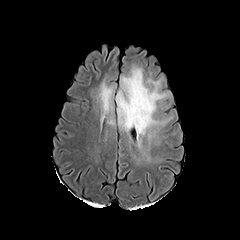
FLAIR magnetic resonance.
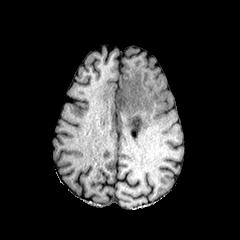
T1-weighted MR of the same slice.
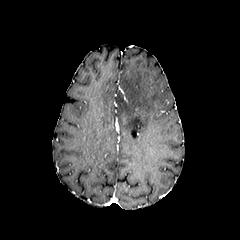
Same slice, post-contrast T1-weighted MRI.
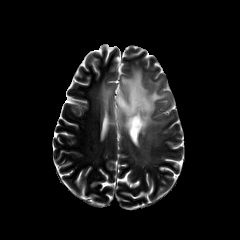
T2-weighted MR of the same slice.
Axial view | Brain
{
  "peritumoral_edema": [
    "x1=98, y1=82, x2=114, y2=124",
    "x1=115, y1=66, x2=168, y2=146"
  ]
}